Slice index 125 | Axial plane
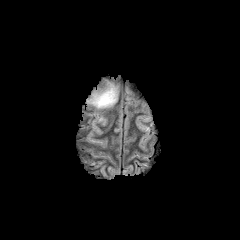
FLAIR MRI.
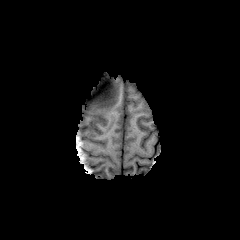
Same slice, T1-weighted MR.
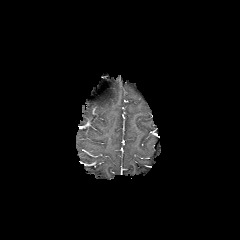
Same slice, post-contrast T1-weighted MR.
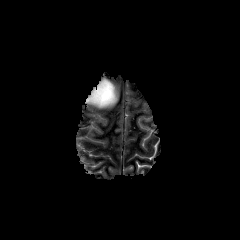
T2-weighted magnetic resonance.
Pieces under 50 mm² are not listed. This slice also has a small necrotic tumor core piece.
peritumoral_edema:
  - region(88, 80, 117, 108)